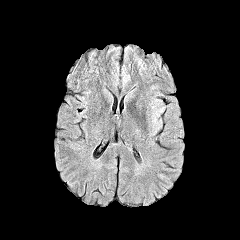
FLAIR MRI.
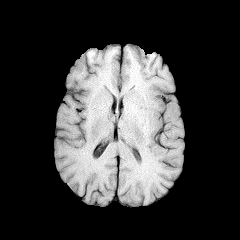
T1-weighted MR image.
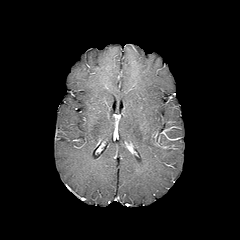
Post-contrast T1-weighted MRI.
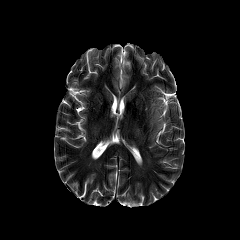
T2-weighted MR image of the same slice.
Brain.
peritumoral edema at 152 109 162 128